FLAIR MRI.
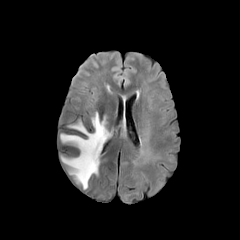
T1-weighted magnetic resonance.
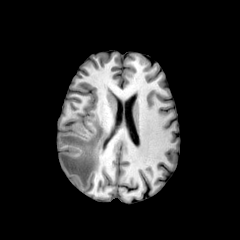
Post-contrast T1-weighted MR.
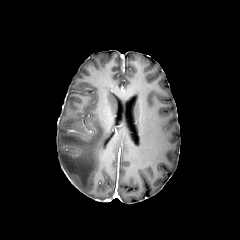
T2-weighted MR.
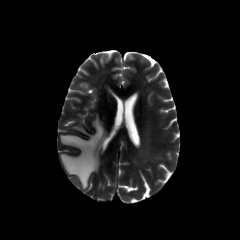
Head | 240x240 | Axial view
The peritumoral edema is bounded by [60, 113, 110, 189].